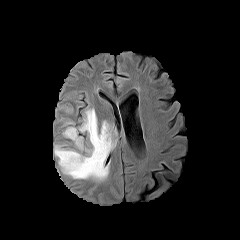
FLAIR magnetic resonance.
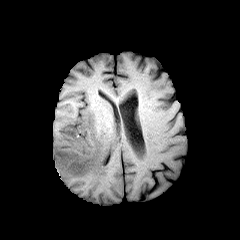
T1-weighted magnetic resonance of the same slice.
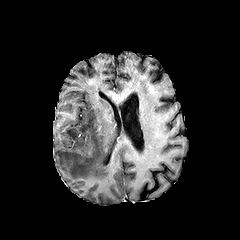
Post-contrast T1-weighted MR of the same slice.
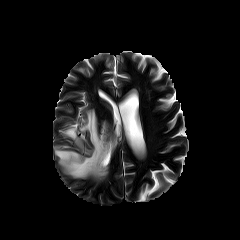
T2-weighted magnetic resonance of the same slice.
Brain
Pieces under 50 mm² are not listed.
<segmentation>
  <peritumoral_edema><box>54,108,116,180</box></peritumoral_edema>
</segmentation>